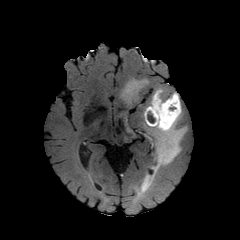
FLAIR MR image.
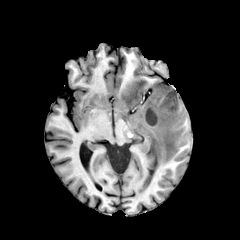
T1-weighted MRI of the same slice.
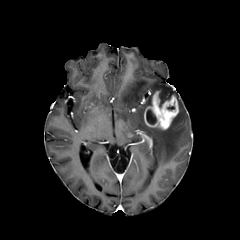
Post-contrast T1-weighted MRI.
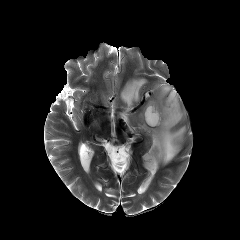
T2-weighted magnetic resonance.
Head; Axial view
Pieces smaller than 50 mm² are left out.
{"peritumoral_edema": ["(left=143, top=92, right=186, bottom=171)", "(left=155, top=86, right=169, bottom=107)", "(left=121, top=79, right=147, bottom=105)"], "necrotic_tumor_core": ["(left=146, top=109, right=156, bottom=124)"], "enhancing_tumor": ["(left=144, top=91, right=178, bottom=129)"]}